Image width 240 mm, Head
FLAIR MR image.
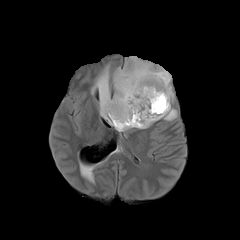
T1-weighted MR.
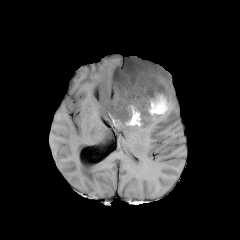
Post-contrast T1-weighted MR.
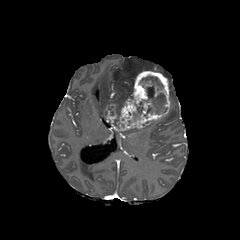
T2-weighted MRI.
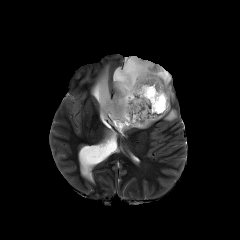
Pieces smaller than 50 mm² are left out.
The 2 largest peritumoral edema regions are located at [91,56,174,119], [162,106,177,120]. The enhancing tumor is bounded by [104,71,170,131]. The 2 largest necrotic tumor core regions are bounded by [142,76,167,114], [133,101,143,120].